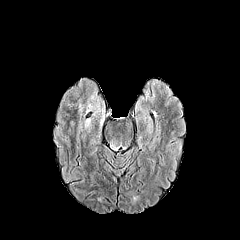
FLAIR MRI.
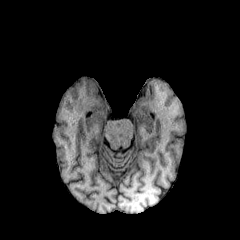
T1-weighted MR image.
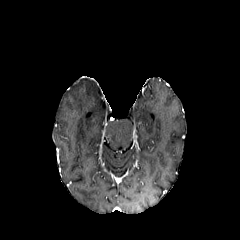
Post-contrast T1-weighted magnetic resonance.
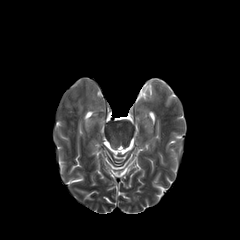
T2-weighted MR.
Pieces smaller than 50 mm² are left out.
peritumoral edema: l=84, t=119, r=91, b=131